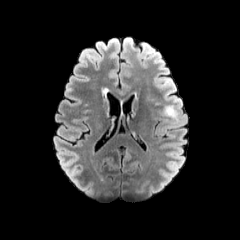
FLAIR MR image.
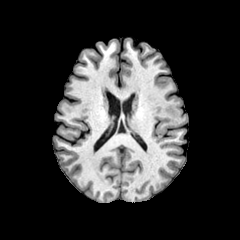
T1-weighted magnetic resonance.
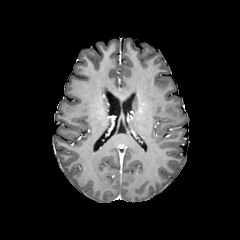
Post-contrast T1-weighted MR image.
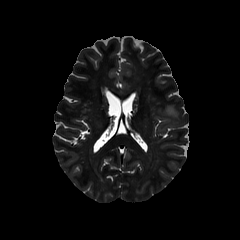
Same slice, T2-weighted MRI.
Annotated regions:
• peritumoral edema: box=[164, 106, 177, 125]